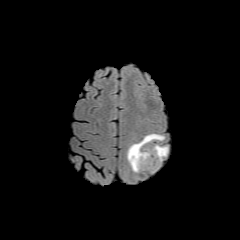
FLAIR MR.
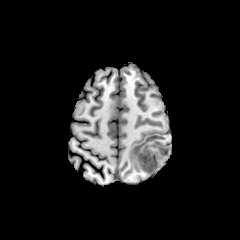
T1-weighted MR image.
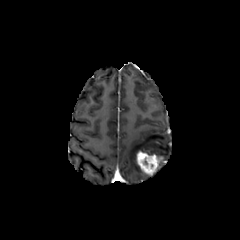
Post-contrast T1-weighted MR.
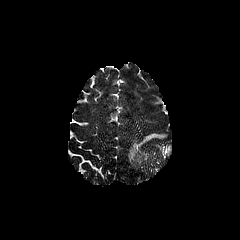
Same slice, T2-weighted MRI.
Axial view | Head
2 peritumoral edema regions are located at [127,134,164,171], [154,145,168,157]. The enhancing tumor appears at [135,147,164,175].